Brain, Slice 67/155, 240x240 px, Axial slice
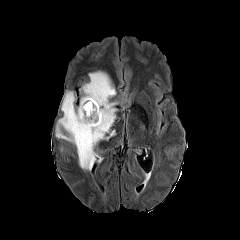
FLAIR MR image.
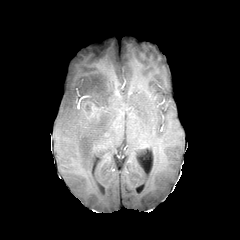
T1-weighted MR image.
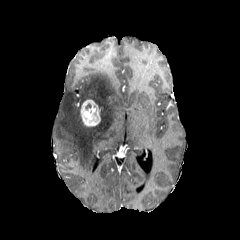
Post-contrast T1-weighted MRI of the same slice.
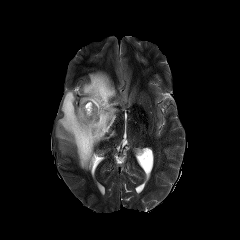
T2-weighted MR.
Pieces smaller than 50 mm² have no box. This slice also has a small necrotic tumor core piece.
enhancing tumor: bounding box 80 100 100 126
peritumoral edema: bounding box 55 71 119 170